FLAIR magnetic resonance.
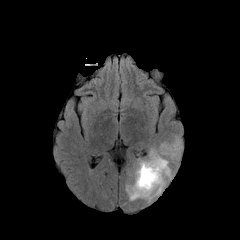
T1-weighted magnetic resonance.
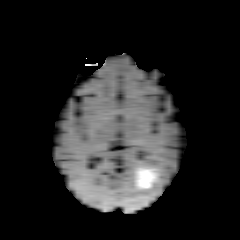
Post-contrast T1-weighted magnetic resonance.
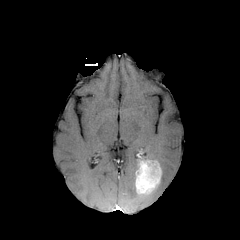
T2-weighted MR.
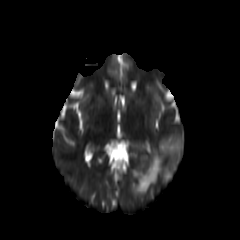
Axial plane. 240x240. Head.
Annotated regions:
- enhancing tumor: [135, 159, 161, 194]
- peritumoral edema: [126, 135, 183, 201]